Head | Axial slice
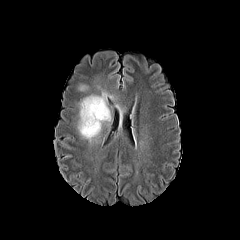
FLAIR MR.
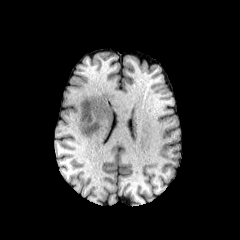
Same slice, T1-weighted MR.
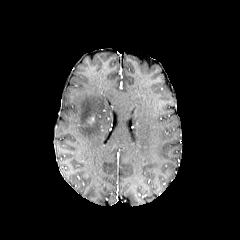
Post-contrast T1-weighted MR.
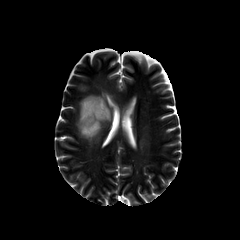
T2-weighted magnetic resonance of the same slice.
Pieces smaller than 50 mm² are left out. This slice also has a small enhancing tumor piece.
The largest peritumoral edema region is located at box=[77, 91, 112, 142].